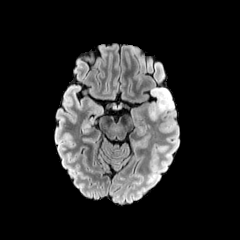
FLAIR MR image.
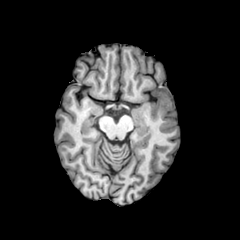
T1-weighted magnetic resonance of the same slice.
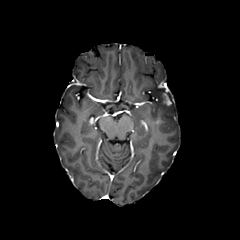
Post-contrast T1-weighted MRI.
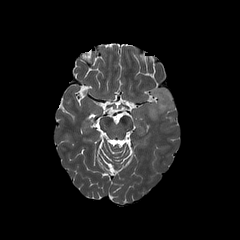
T2-weighted MR.
Brain
peritumoral edema: bounding box 147, 87, 174, 120
enhancing tumor: bounding box 159, 90, 172, 107